FLAIR magnetic resonance.
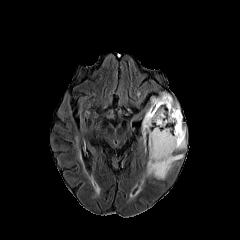
T1-weighted MR image.
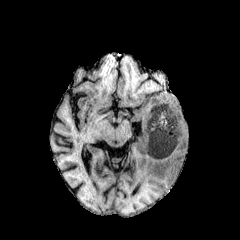
Post-contrast T1-weighted MR.
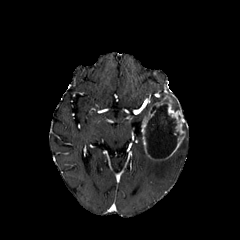
T2-weighted MR.
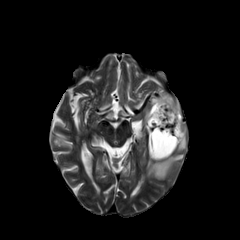
Axial view.
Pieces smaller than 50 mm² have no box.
{
  "necrotic_tumor_core": [
    "(x1=145, y1=104, x2=179, y2=158)"
  ],
  "peritumoral_edema": [
    "(x1=142, y1=153, x2=183, y2=183)",
    "(x1=150, y1=93, x2=167, y2=107)",
    "(x1=177, y1=137, x2=186, y2=150)"
  ],
  "enhancing_tumor": [
    "(x1=141, y1=94, x2=185, y2=160)"
  ]
}